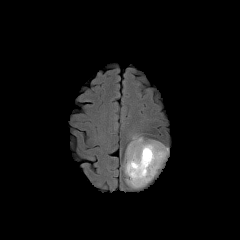
FLAIR MR.
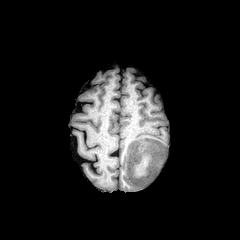
T1-weighted magnetic resonance.
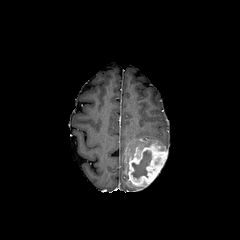
Post-contrast T1-weighted MR.
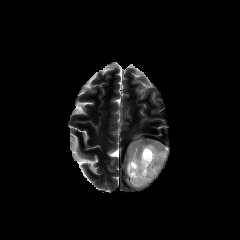
T2-weighted MR image.
Head
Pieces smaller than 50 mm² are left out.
The largest peritumoral edema region lies within 126 135 155 152. The necrotic tumor core is bounded by 132 151 151 178. The enhancing tumor is bounded by 125 139 167 186.